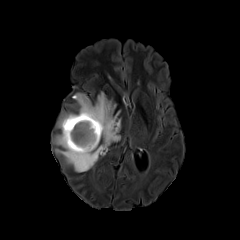
FLAIR MR.
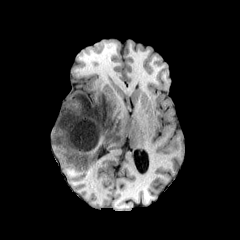
Same slice, T1-weighted magnetic resonance.
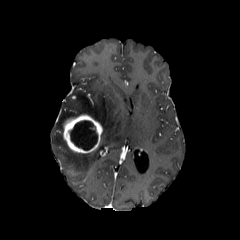
Post-contrast T1-weighted MR of the same slice.
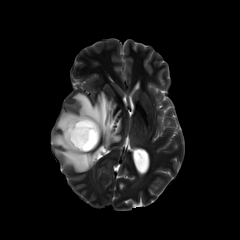
T2-weighted magnetic resonance of the same slice.
Head, Axial view
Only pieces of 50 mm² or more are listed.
The necrotic tumor core is bounded by (x1=70, y1=120, x2=97, y2=150). The peritumoral edema lies within (x1=53, y1=92, x2=120, y2=172). The largest enhancing tumor region lies within (x1=63, y1=114, x2=102, y2=153).